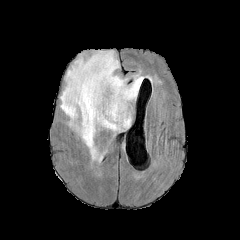
FLAIR MRI.
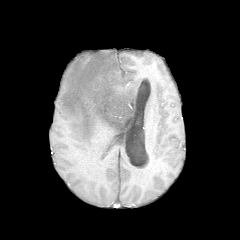
T1-weighted magnetic resonance of the same slice.
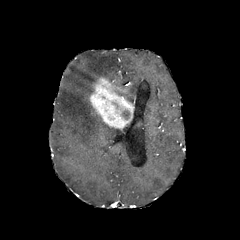
Same slice, post-contrast T1-weighted magnetic resonance.
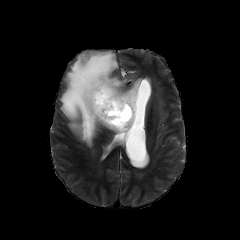
T2-weighted magnetic resonance.
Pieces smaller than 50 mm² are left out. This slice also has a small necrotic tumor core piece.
peritumoral edema at 60, 50, 151, 159
enhancing tumor at 89, 76, 134, 130